Image size 240x240. Image width 240 mm, 1.00 mm slice spacing. Brain.
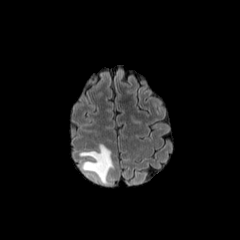
FLAIR magnetic resonance.
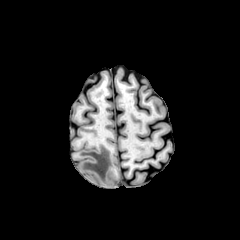
Same slice, T1-weighted magnetic resonance.
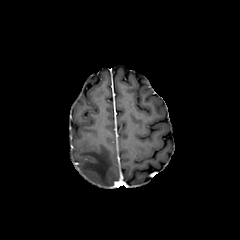
Same slice, post-contrast T1-weighted MR image.
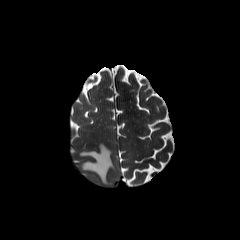
T2-weighted MR.
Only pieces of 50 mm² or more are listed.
The largest peritumoral edema region is located at <bbox>80, 144, 114, 184</bbox>.